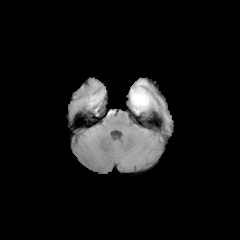
FLAIR MR image.
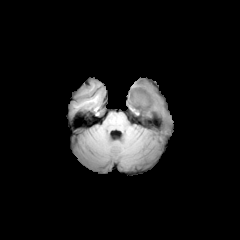
T1-weighted MRI.
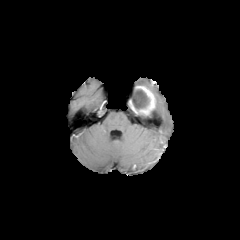
Same slice, post-contrast T1-weighted magnetic resonance.
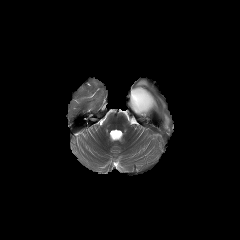
T2-weighted MR.
Head | Axial slice | 240x240 px
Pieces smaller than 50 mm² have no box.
Findings:
- necrotic tumor core: {"x1": 132, "y1": 89, "x2": 149, "y2": 109}
- peritumoral edema: {"x1": 136, "y1": 80, "x2": 147, "y2": 86}
- enhancing tumor: {"x1": 129, "y1": 86, "x2": 155, "y2": 114}